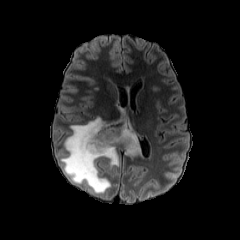
FLAIR magnetic resonance.
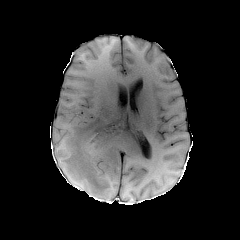
Same slice, T1-weighted MR image.
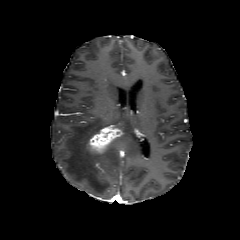
Same slice, post-contrast T1-weighted magnetic resonance.
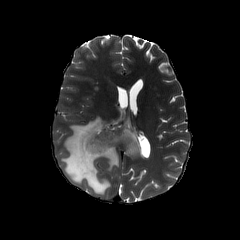
T2-weighted magnetic resonance of the same slice.
Axial slice
peritumoral edema = 61:108:140:194
enhancing tumor = 87:125:122:153